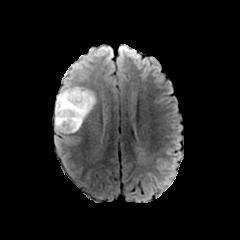
FLAIR MR.
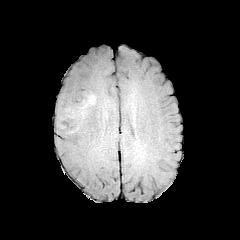
T1-weighted MR of the same slice.
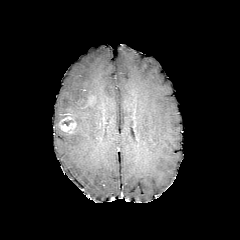
Post-contrast T1-weighted MR image of the same slice.
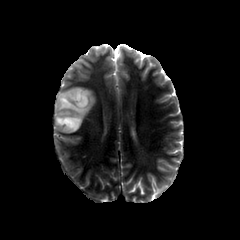
T2-weighted MR.
Head
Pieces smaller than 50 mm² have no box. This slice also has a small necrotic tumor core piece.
The peritumoral edema lies within {"x1": 54, "y1": 85, "x2": 96, "y2": 136}. The enhancing tumor is located at {"x1": 58, "y1": 113, "x2": 76, "y2": 133}.